FLAIR MRI.
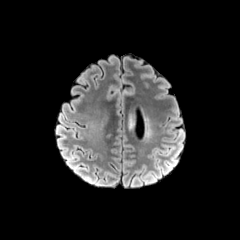
T1-weighted MR image.
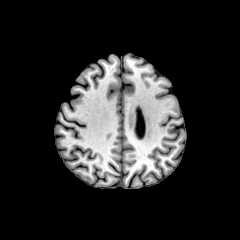
Post-contrast T1-weighted MR.
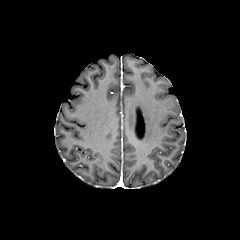
T2-weighted MR image.
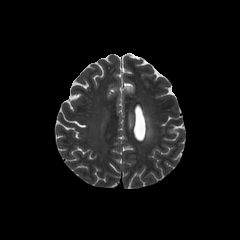
Axial plane, Brain
peritumoral edema: (145, 117, 152, 139), (128, 114, 134, 129)